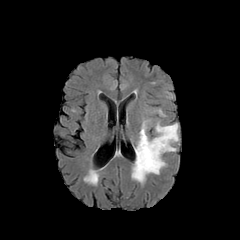
FLAIR MRI.
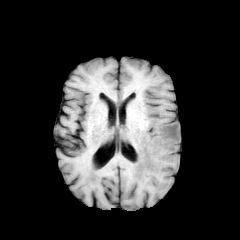
T1-weighted MRI.
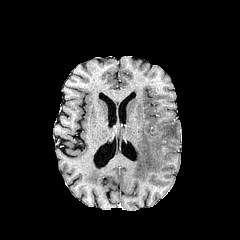
Same slice, post-contrast T1-weighted MR.
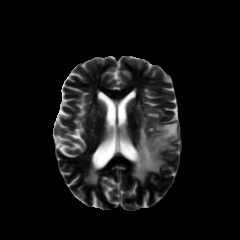
Same slice, T2-weighted MR.
Axial slice
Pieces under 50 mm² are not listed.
The largest peritumoral edema region appears at (132,121,178,182).